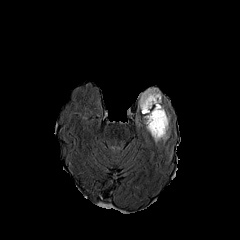
FLAIR MR.
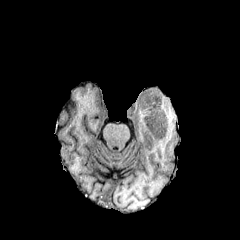
Same slice, T1-weighted MRI.
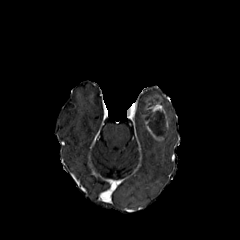
Post-contrast T1-weighted MR.
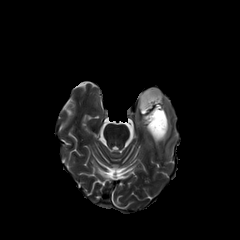
T2-weighted MR image.
Brain
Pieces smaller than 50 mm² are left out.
enhancing tumor at <box>143,94,168,141</box>
necrotic tumor core at <box>145,111,166,136</box>
peritumoral edema at <box>138,88,162,115</box>